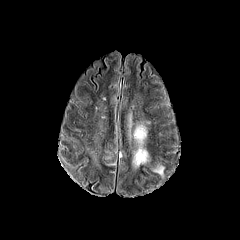
FLAIR magnetic resonance.
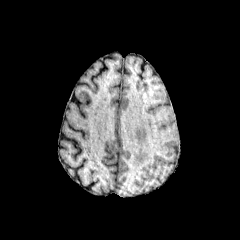
Same slice, T1-weighted MR.
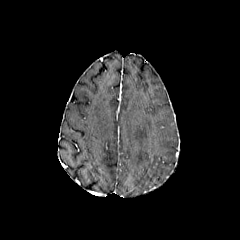
Post-contrast T1-weighted MR of the same slice.
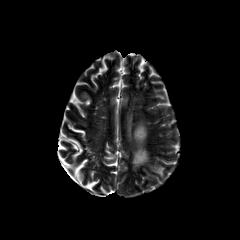
Same slice, T2-weighted MR image.
240x240 px, Head
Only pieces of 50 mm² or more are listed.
The 2 largest peritumoral edema regions are bounded by bbox=[134, 125, 146, 142]; bbox=[134, 148, 147, 165].